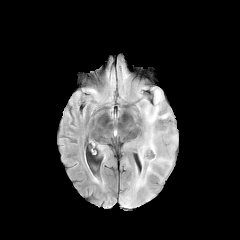
FLAIR MR.
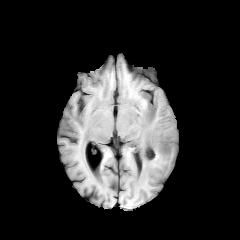
Same slice, T1-weighted MR.
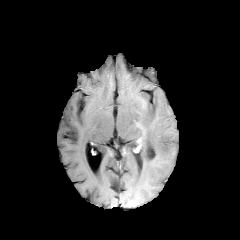
Post-contrast T1-weighted MRI of the same slice.
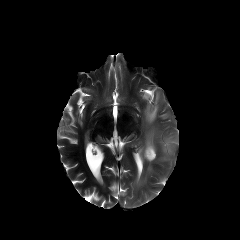
T2-weighted MRI of the same slice.
Head. Axial plane.
2 peritumoral edema regions appear at rect(136, 107, 171, 187); rect(169, 135, 177, 151).